Slice 52 of 155, 240x240
FLAIR MR.
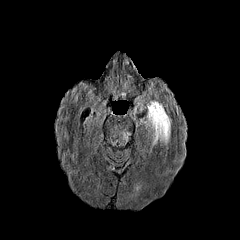
T1-weighted MR.
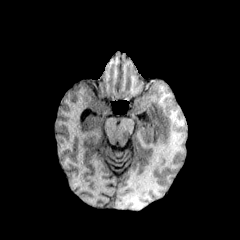
Post-contrast T1-weighted MR.
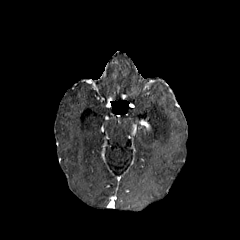
T2-weighted MR.
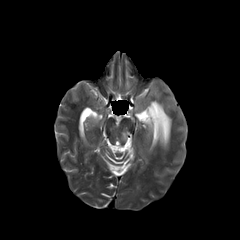
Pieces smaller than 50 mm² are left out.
peritumoral edema: rect(145, 101, 171, 146)